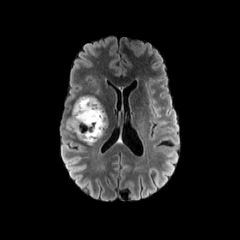
FLAIR magnetic resonance.
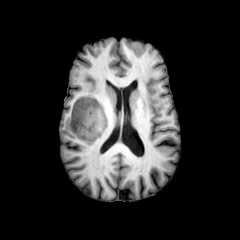
Same slice, T1-weighted magnetic resonance.
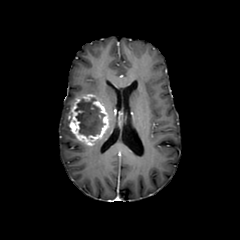
Post-contrast T1-weighted MR of the same slice.
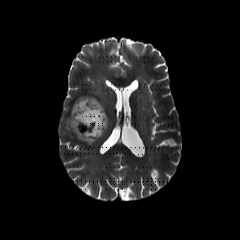
T2-weighted MR of the same slice.
Brain.
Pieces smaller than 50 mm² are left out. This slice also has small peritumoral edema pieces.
enhancing_tumor:
  - 68 95 108 145
necrotic_tumor_core:
  - 75 99 104 136